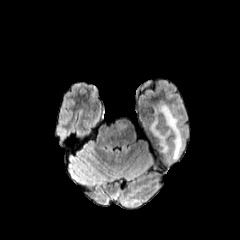
FLAIR MR image.
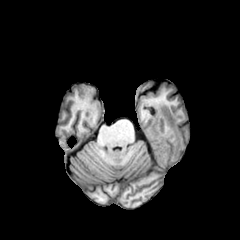
T1-weighted magnetic resonance.
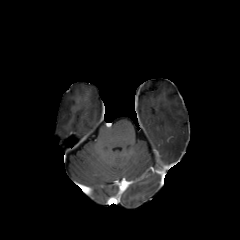
Post-contrast T1-weighted MR image.
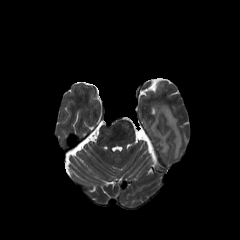
T2-weighted MR of the same slice.
240x240; Axial view; Brain
The peritumoral edema appears at <box>151,104,183,159</box>.